Slice index 77
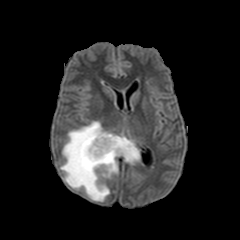
FLAIR MR image.
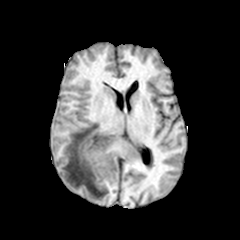
T1-weighted MR.
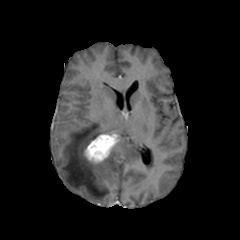
Post-contrast T1-weighted MR.
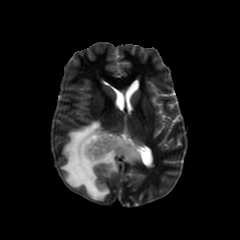
T2-weighted MRI of the same slice.
enhancing tumor: l=84, t=133, r=119, b=164 | peritumoral edema: l=60, t=121, r=140, b=201